Image width 240 mm | Slice 126/155
FLAIR magnetic resonance.
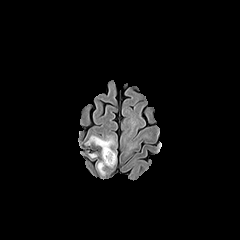
T1-weighted magnetic resonance.
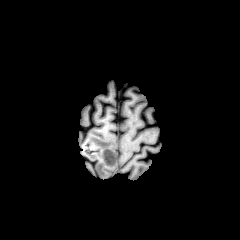
Post-contrast T1-weighted MRI.
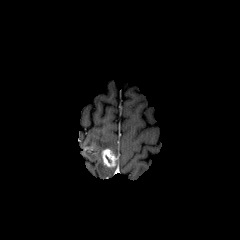
T2-weighted magnetic resonance.
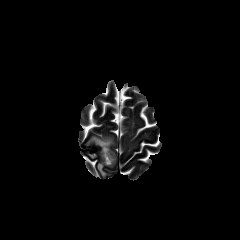
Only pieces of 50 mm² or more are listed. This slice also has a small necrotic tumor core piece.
peritumoral edema at region(97, 161, 106, 175); region(86, 135, 114, 149)
enhancing tumor at region(101, 148, 116, 167)